FLAIR MRI.
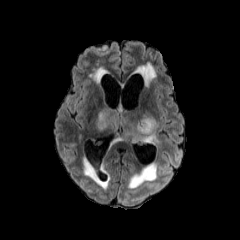
T1-weighted MRI.
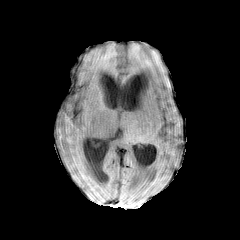
Post-contrast T1-weighted magnetic resonance.
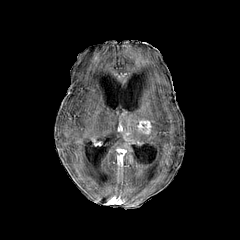
T2-weighted MR.
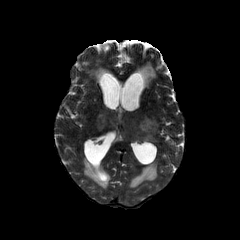
The peritumoral edema lies within (x1=96, y1=106, x2=157, y2=143). The enhancing tumor is bounded by (x1=136, y1=119, x2=151, y2=136).